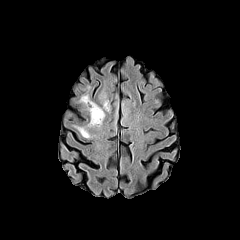
FLAIR MR image.
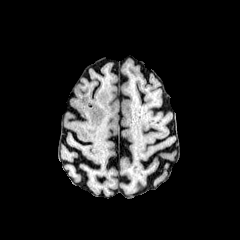
T1-weighted MR image.
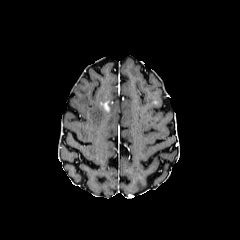
Post-contrast T1-weighted magnetic resonance.
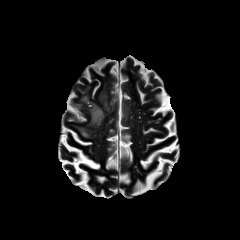
T2-weighted magnetic resonance.
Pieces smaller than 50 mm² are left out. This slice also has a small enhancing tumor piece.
The 2 largest peritumoral edema regions are located at 80, 94, 104, 126; 77, 127, 90, 138.